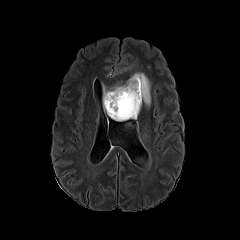
FLAIR MR.
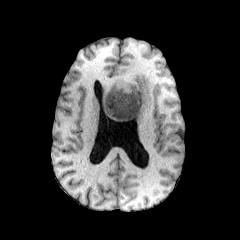
T1-weighted magnetic resonance.
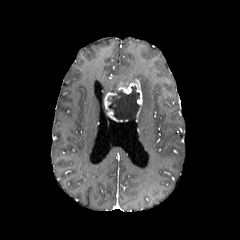
Same slice, post-contrast T1-weighted MRI.
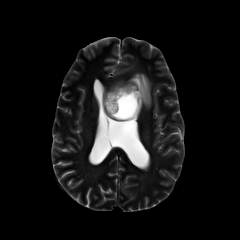
T2-weighted MR image of the same slice.
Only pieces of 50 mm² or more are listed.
necrotic tumor core: bounding box bbox=[107, 86, 139, 120]
enhancing tumor: bounding box bbox=[104, 79, 142, 122]
peritumoral edema: bounding box bbox=[127, 73, 150, 107]; bbox=[103, 83, 118, 111]